FLAIR MR image.
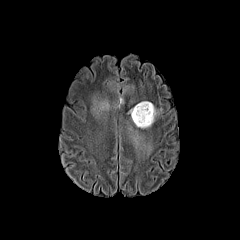
T1-weighted magnetic resonance.
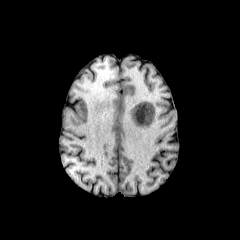
Post-contrast T1-weighted magnetic resonance.
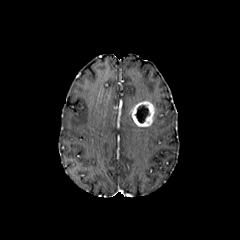
T2-weighted MR image.
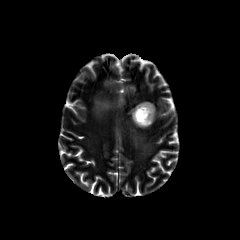
Head, 240x240, Axial slice
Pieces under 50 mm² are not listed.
Segmented structures:
- necrotic tumor core: left=135, top=105, right=149, bottom=123
- enhancing tumor: left=131, top=101, right=155, bottom=126
- peritumoral edema: left=98, top=101, right=109, bottom=109